Head. Image width 240 mm. Axial plane.
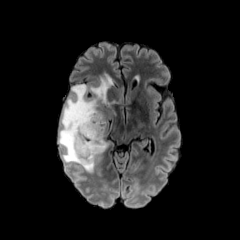
FLAIR MRI.
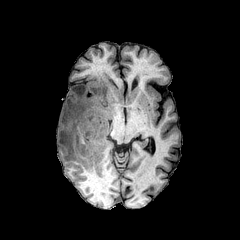
Same slice, T1-weighted MRI.
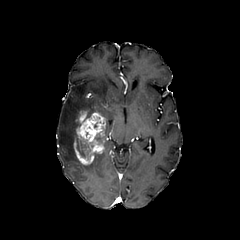
Same slice, post-contrast T1-weighted MR.
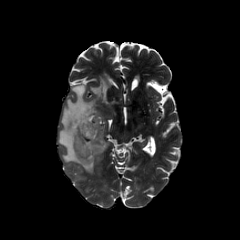
T2-weighted MR.
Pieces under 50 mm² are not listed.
enhancing tumor — box(73, 110, 107, 165)
necrotic tumor core — box(95, 130, 103, 140); box(76, 134, 95, 158)
peritumoral edema — box(101, 113, 109, 138); box(58, 73, 116, 172)